Image size 240x240. Image width 240 mm.
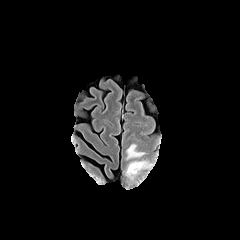
FLAIR MRI.
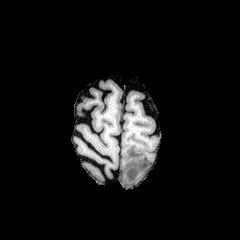
T1-weighted MR.
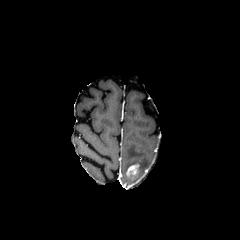
Same slice, post-contrast T1-weighted MRI.
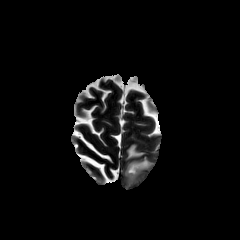
T2-weighted MR image.
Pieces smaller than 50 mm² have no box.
<segmentation>
  <enhancing_tumor>125:164:139:180</enhancing_tumor>
  <peritumoral_edema>126:144:150:170</peritumoral_edema>
</segmentation>